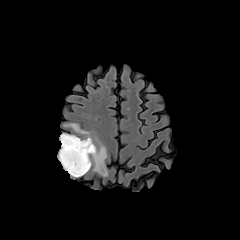
FLAIR MR image.
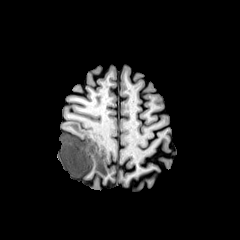
Same slice, T1-weighted MR.
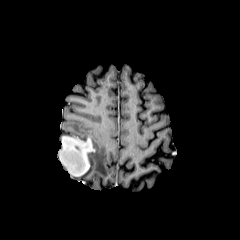
Post-contrast T1-weighted magnetic resonance.
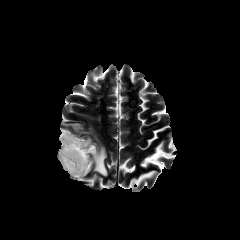
T2-weighted MR.
Image size 240x240 | Brain
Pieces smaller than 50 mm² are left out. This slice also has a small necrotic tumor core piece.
Segmented structures:
* peritumoral edema: l=64, t=123, r=108, b=176
* enhancing tumor: l=59, t=135, r=94, b=176